FLAIR MR.
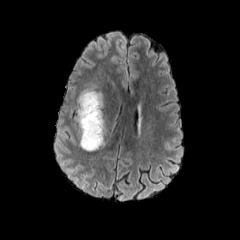
T1-weighted MRI.
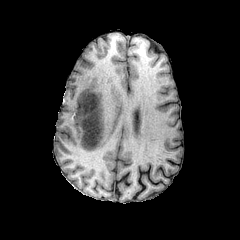
Post-contrast T1-weighted magnetic resonance.
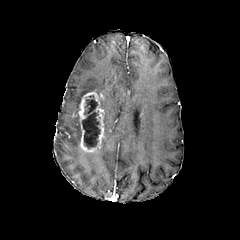
T2-weighted MR image.
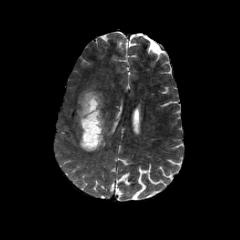
Brain.
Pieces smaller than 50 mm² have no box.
enhancing_tumor:
  - {"x1": 77, "y1": 91, "x2": 104, "y2": 151}
peritumoral_edema:
  - {"x1": 101, "y1": 113, "x2": 106, "y2": 146}
  - {"x1": 77, "y1": 87, "x2": 102, "y2": 112}
necrotic_tumor_core:
  - {"x1": 84, "y1": 99, "x2": 97, "y2": 114}
  - {"x1": 82, "y1": 112, "x2": 100, "y2": 148}